Head, Slice 103 of 155, Axial slice
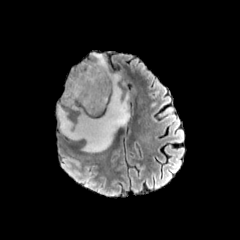
FLAIR magnetic resonance.
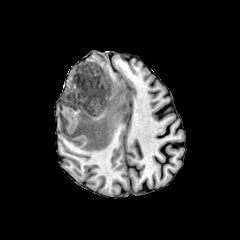
T1-weighted MR.
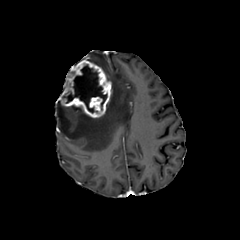
Same slice, post-contrast T1-weighted MRI.
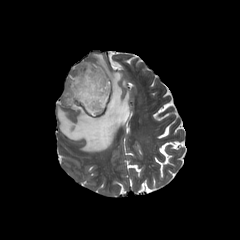
T2-weighted MR image of the same slice.
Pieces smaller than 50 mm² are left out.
<segmentation>
  <peritumoral_edema><box>57,53,129,152</box></peritumoral_edema>
  <enhancing_tumor><box>59,60,111,117</box></enhancing_tumor>
  <necrotic_tumor_core><box>62,65,106,111</box></necrotic_tumor_core>
</segmentation>